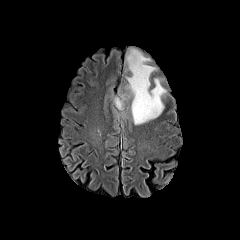
FLAIR MR image.
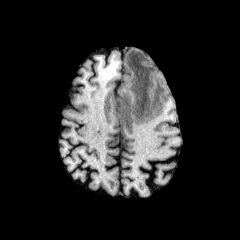
Same slice, T1-weighted MRI.
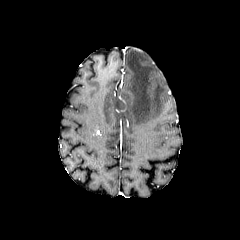
Same slice, post-contrast T1-weighted MR image.
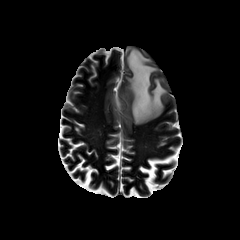
T2-weighted MR of the same slice.
Image size 240x240.
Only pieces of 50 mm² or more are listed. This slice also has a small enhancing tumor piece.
Segmented structures:
- peritumoral edema: 126,49,166,124; 114,97,123,109